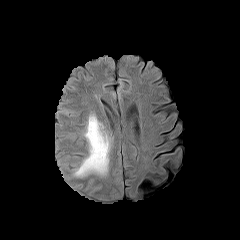
FLAIR magnetic resonance.
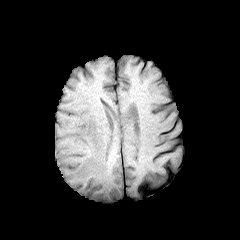
Same slice, T1-weighted MR image.
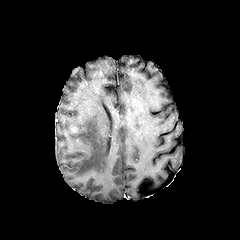
Same slice, post-contrast T1-weighted MR.
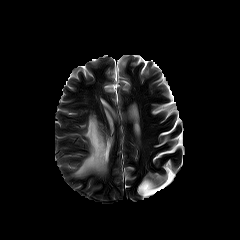
T2-weighted MR image.
240x240 px | Head | Axial slice
<segmentation>
  <peritumoral_edema>l=73, t=114, r=110, b=176</peritumoral_edema>
</segmentation>